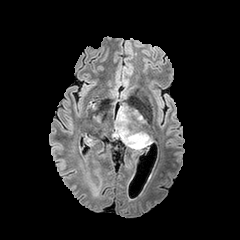
FLAIR magnetic resonance.
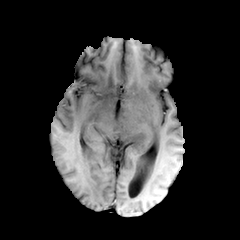
T1-weighted MRI of the same slice.
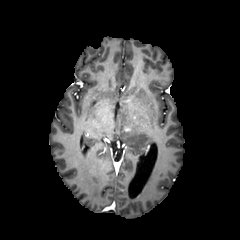
Post-contrast T1-weighted MR image.
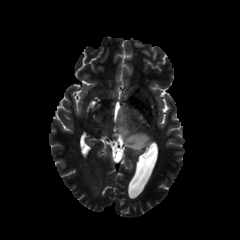
T2-weighted magnetic resonance.
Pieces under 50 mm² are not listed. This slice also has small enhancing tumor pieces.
The peritumoral edema is located at (116,104,150,148).